FLAIR MRI.
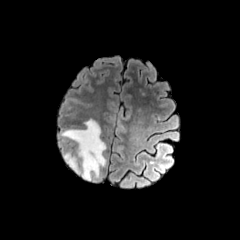
T1-weighted MR image.
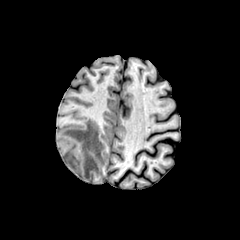
Post-contrast T1-weighted MR image.
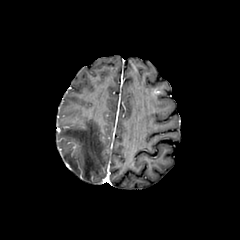
T2-weighted MR image.
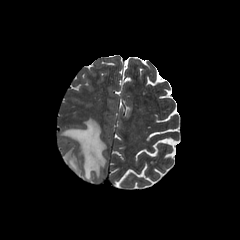
Head
peritumoral edema: bbox(64, 153, 80, 173); bbox(60, 119, 106, 180)